Axial plane
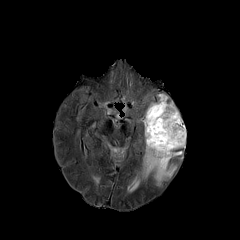
FLAIR MRI.
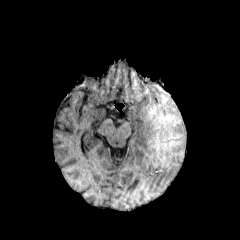
T1-weighted MR.
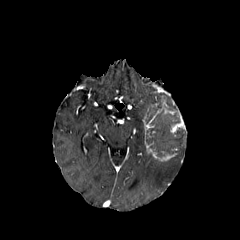
Post-contrast T1-weighted MRI.
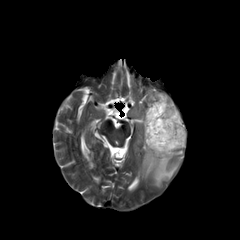
T2-weighted MR.
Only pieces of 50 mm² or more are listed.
The 2 largest peritumoral edema regions appear at 158, 94, 167, 104; 141, 150, 177, 186. The 2 largest necrotic tumor core regions are located at 146, 110, 185, 157; 145, 102, 161, 123. The 2 largest enhancing tumor regions are bounded by 143, 101, 185, 138; 145, 141, 176, 161.